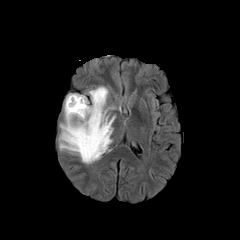
FLAIR MR image.
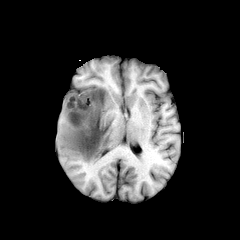
Same slice, T1-weighted MRI.
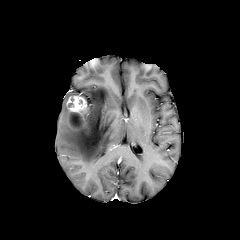
Same slice, post-contrast T1-weighted magnetic resonance.
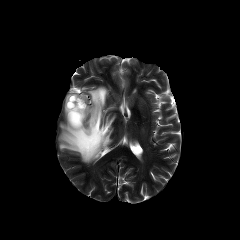
T2-weighted MR image.
Axial plane
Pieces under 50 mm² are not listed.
The largest necrotic tumor core region is bounded by l=69, t=112, r=82, b=127. The enhancing tumor appears at l=66, t=96, r=88, b=130. The largest peritumoral edema region is at l=59, t=86, r=115, b=164.